Brain.
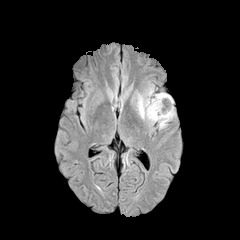
FLAIR MRI.
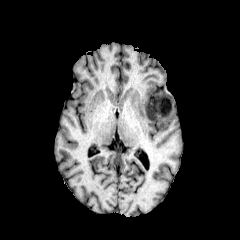
T1-weighted MR image of the same slice.
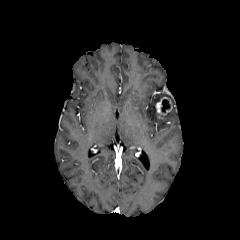
Post-contrast T1-weighted MR.
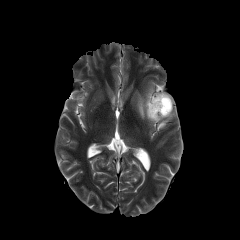
Same slice, T2-weighted MRI.
peritumoral edema = [137,86,175,128]
necrotic tumor core = [161,99,170,112]
enhancing tumor = [154,97,172,118]